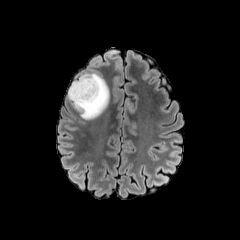
FLAIR MR image.
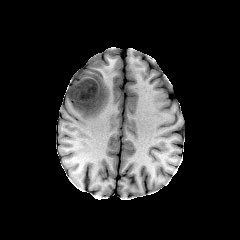
Same slice, T1-weighted MR image.
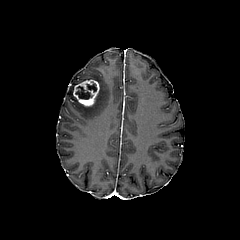
Post-contrast T1-weighted magnetic resonance of the same slice.
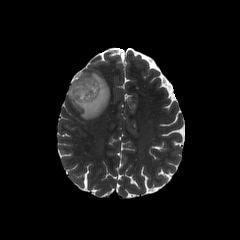
T2-weighted magnetic resonance.
Head
peritumoral edema: [67, 72, 109, 119] | enhancing tumor: [73, 79, 99, 106] | necrotic tumor core: [75, 86, 92, 99], [86, 83, 96, 92]